FLAIR magnetic resonance.
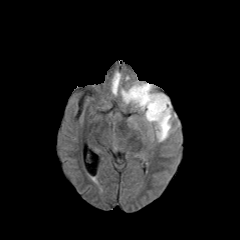
T1-weighted MR.
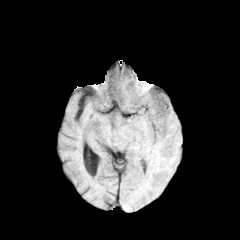
Post-contrast T1-weighted magnetic resonance.
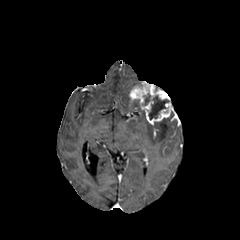
T2-weighted MR image.
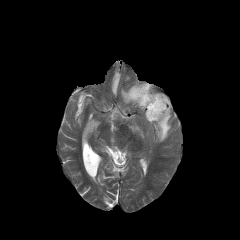
240x240; Axial plane; Brain
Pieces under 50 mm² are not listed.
Segmented structures:
• enhancing tumor: 129 82 172 124
• peritumoral edema: 154 112 171 141, 121 86 139 107, 112 72 120 95
• necrotic tumor core: 149 96 168 119